FLAIR magnetic resonance.
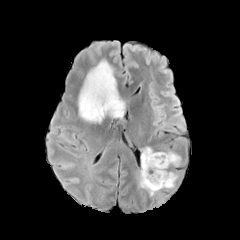
T1-weighted MR image.
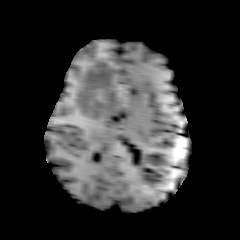
Post-contrast T1-weighted MR.
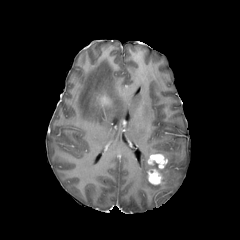
T2-weighted MR image.
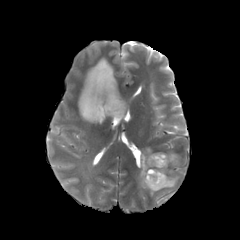
Axial view | Brain
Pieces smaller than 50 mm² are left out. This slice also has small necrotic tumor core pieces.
3 enhancing tumor regions are bounded by <bbox>147, 153, 167, 168</bbox>, <bbox>100, 96, 110, 106</bbox>, <bbox>147, 168, 164, 184</bbox>. 2 peritumoral edema regions appear at <bbox>78, 60, 124, 123</bbox>, <bbox>140, 147, 182, 195</bbox>.